Axial plane | Brain
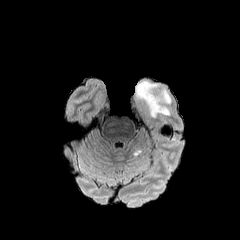
FLAIR MR image.
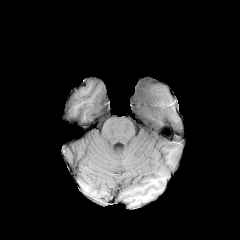
T1-weighted MR.
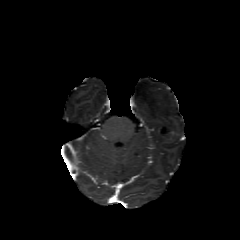
Post-contrast T1-weighted MR.
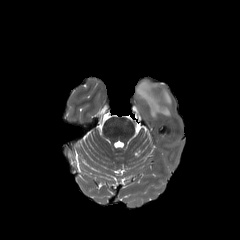
T2-weighted MR image.
{"peritumoral_edema": ["left=133, top=79, right=171, bottom=119"]}